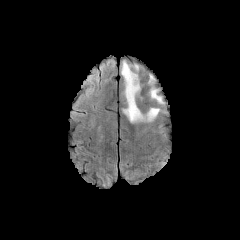
FLAIR magnetic resonance.
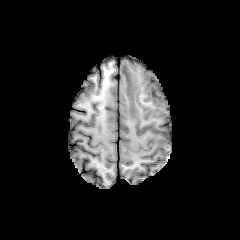
T1-weighted MR image of the same slice.
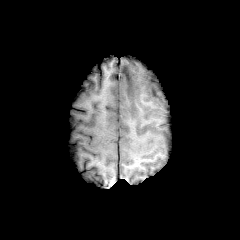
Post-contrast T1-weighted MR.
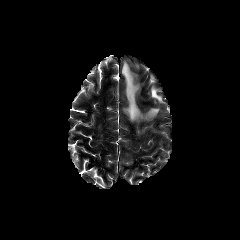
T2-weighted magnetic resonance.
Brain
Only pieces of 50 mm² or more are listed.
peritumoral edema at (left=121, top=61, right=159, bottom=122), (left=150, top=87, right=164, bottom=103)